FLAIR MR image.
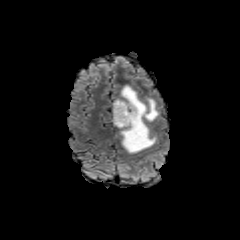
T1-weighted MR image.
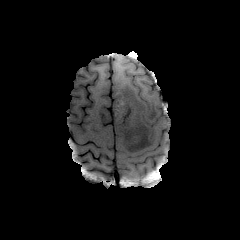
Post-contrast T1-weighted MR.
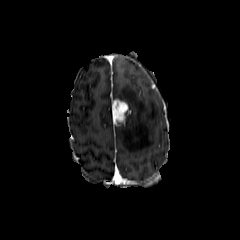
T2-weighted MR.
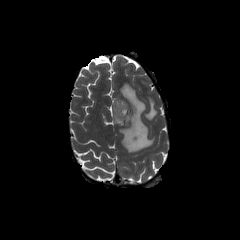
Axial plane, Brain
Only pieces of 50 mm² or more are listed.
The largest peritumoral edema region is bounded by (x1=116, y1=85, x2=158, y2=153). The enhancing tumor appears at (x1=112, y1=99, x2=130, y2=125).